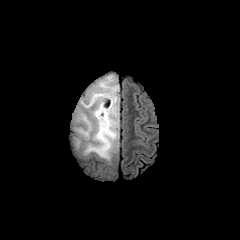
FLAIR MRI.
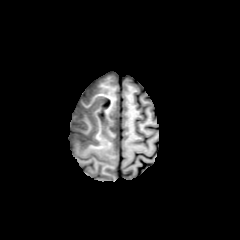
T1-weighted MRI of the same slice.
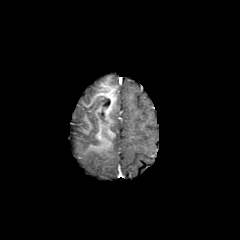
Post-contrast T1-weighted magnetic resonance.
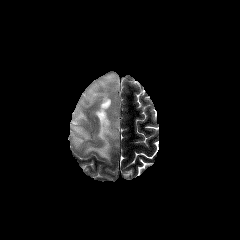
T2-weighted MR.
Axial plane; 240x240 px
necrotic tumor core: bounding box rect(98, 98, 110, 123)
enhancing tumor: bounding box rect(95, 94, 112, 126)
peritumoral edema: bounding box rect(72, 74, 119, 162)